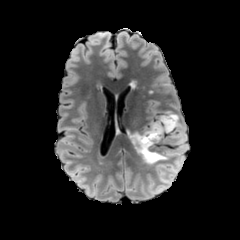
FLAIR MRI.
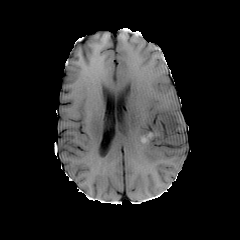
T1-weighted MR image.
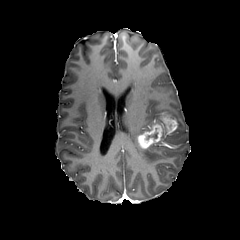
Post-contrast T1-weighted MR image of the same slice.
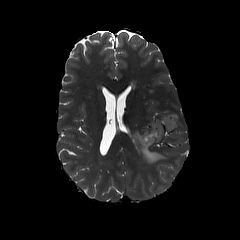
T2-weighted MR image.
Head
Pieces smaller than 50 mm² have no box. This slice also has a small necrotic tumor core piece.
peritumoral_edema:
  - region(131, 132, 168, 164)
  - region(166, 130, 184, 142)
  - region(164, 111, 181, 127)
enhancing_tumor:
  - region(136, 112, 177, 149)